Slice 86 of 155 | Axial plane | Image covers 240 mm x 240 mm
FLAIR MR.
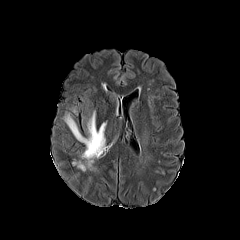
T1-weighted magnetic resonance.
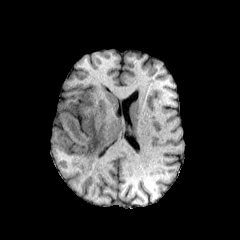
Post-contrast T1-weighted MR.
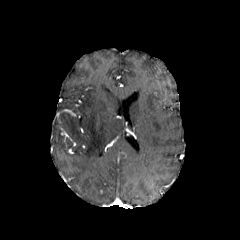
T2-weighted MRI.
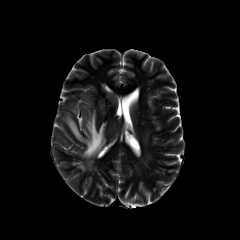
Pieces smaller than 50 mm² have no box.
• peritumoral edema: (x1=64, y1=110, x2=106, y2=171)